Slice index 77
FLAIR MRI.
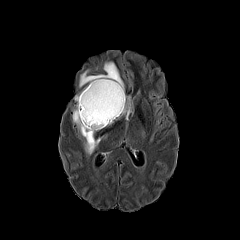
T1-weighted MR.
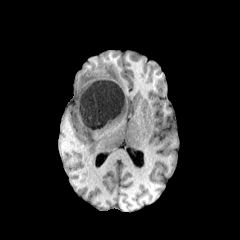
Post-contrast T1-weighted magnetic resonance.
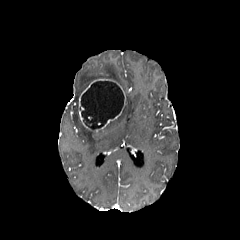
T2-weighted magnetic resonance.
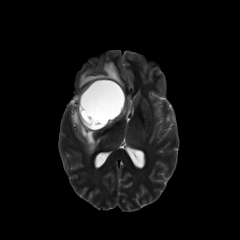
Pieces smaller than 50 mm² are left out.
Findings:
- peritumoral edema: (73,92,101,154), (117,95,133,119), (79,62,124,90)
- necrotic tumor core: (81,81,124,130)
- enhancing tumor: (78,79,125,131)